240x240 px. Slice 58/155.
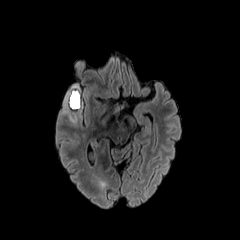
FLAIR MR.
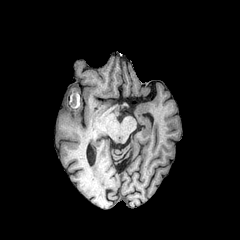
Same slice, T1-weighted MRI.
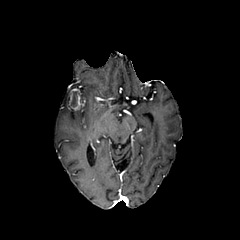
Post-contrast T1-weighted MR.
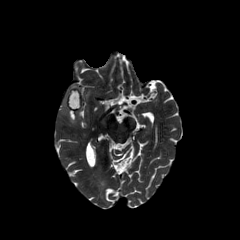
T2-weighted MR.
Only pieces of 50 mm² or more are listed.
peritumoral edema: bounding box [64, 85, 78, 107], [64, 110, 76, 122]
necrotic tumor core: bounding box [71, 91, 76, 106]
enhancing tumor: bounding box [69, 88, 82, 110]